FLAIR MR.
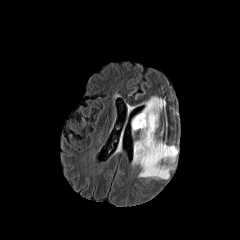
T1-weighted MR.
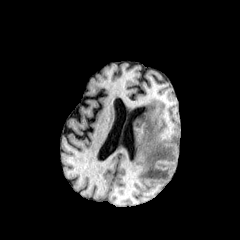
Post-contrast T1-weighted MRI.
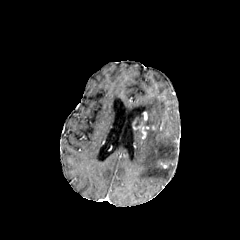
T2-weighted MRI.
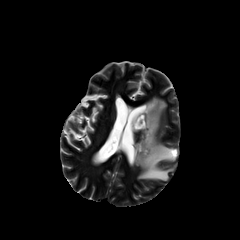
240x240 | Axial view
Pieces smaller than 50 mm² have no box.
<segmentation>
  <peritumoral_edema>[132,96,177,180]</peritumoral_edema>
  <enhancing_tumor>[135,125,148,138]</enhancing_tumor>
</segmentation>